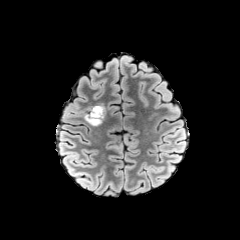
FLAIR MR.
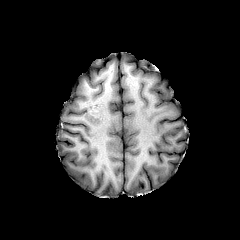
T1-weighted magnetic resonance.
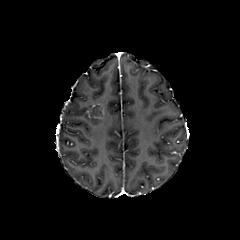
Post-contrast T1-weighted MR.
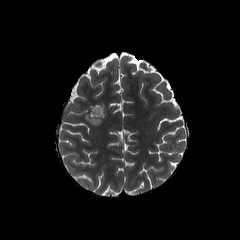
T2-weighted MR image of the same slice.
Image size 240x240 | Brain
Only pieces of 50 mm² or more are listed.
• peritumoral edema: (left=84, top=113, right=102, bottom=125)
• necrotic tumor core: (left=91, top=106, right=101, bottom=117)
• enhancing tumor: (left=88, top=104, right=104, bottom=119)